FLAIR MR.
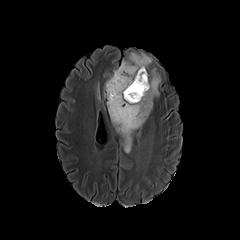
T1-weighted MRI.
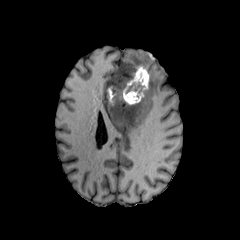
Post-contrast T1-weighted MRI.
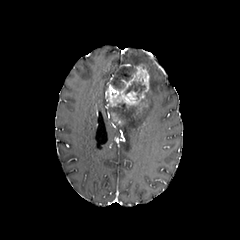
T2-weighted MR image.
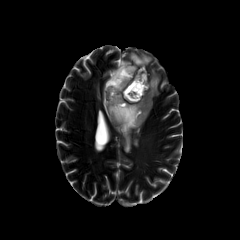
Axial plane, Image size 240x240
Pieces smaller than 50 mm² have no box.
Annotated regions:
• necrotic tumor core: [124,79,145,99], [111,103,139,121], [111,66,134,89]
• peritumoral edema: [122,52,151,71], [107,106,116,125], [97,82,100,99], [115,67,160,153]
• enhancing tumor: [111,112,124,125], [105,64,149,114]